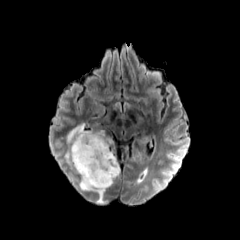
FLAIR MR image.
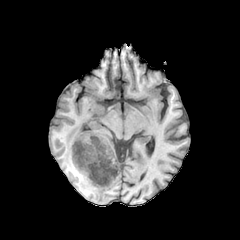
T1-weighted MR.
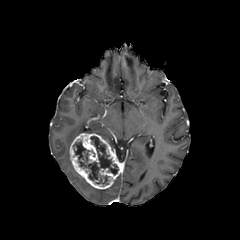
Post-contrast T1-weighted MR image of the same slice.
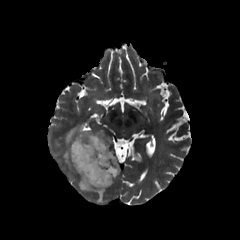
T2-weighted MRI.
Head
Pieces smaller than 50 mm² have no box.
necrotic tumor core: <box>90,136,118,174</box>, <box>73,141,99,180</box>
peritumoral edema: <box>79,176,106,202</box>, <box>65,123,111,164</box>
enhancing tumor: <box>70,133,120,189</box>